Brain | Image width 240 mm | Slice 95/155
FLAIR MRI.
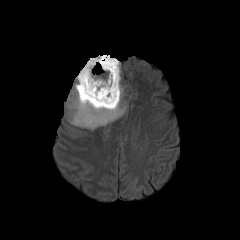
T1-weighted MR.
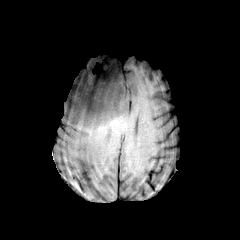
Post-contrast T1-weighted MRI.
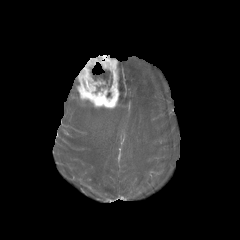
T2-weighted MR.
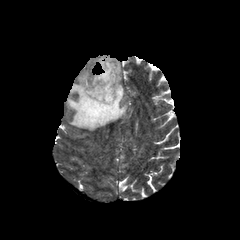
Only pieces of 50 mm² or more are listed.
enhancing tumor — 76 55 119 108
peritumoral edema — 66 61 126 130
necrotic tumor core — 91 70 112 89